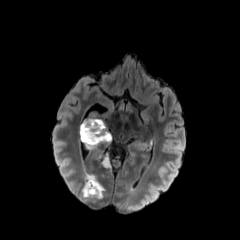
FLAIR MRI.
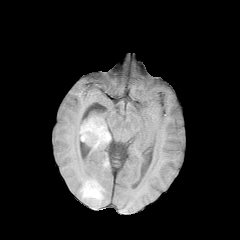
T1-weighted magnetic resonance.
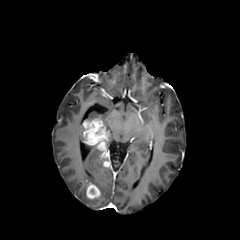
Post-contrast T1-weighted MR.
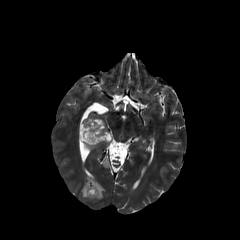
T2-weighted MR.
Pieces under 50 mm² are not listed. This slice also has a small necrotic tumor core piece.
peritumoral edema = 81, 173, 104, 201; 83, 143, 96, 149
enhancing tumor = 86, 183, 101, 199; 80, 119, 111, 167